FLAIR MR image.
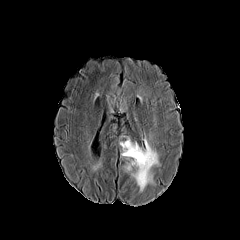
T1-weighted MRI.
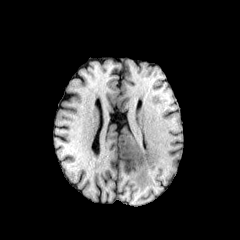
Post-contrast T1-weighted MR.
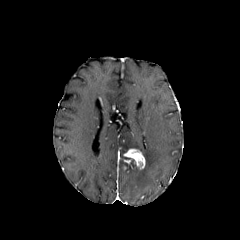
T2-weighted MR.
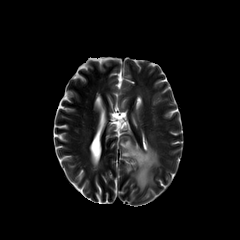
Image size 240x240 | Axial view | Head
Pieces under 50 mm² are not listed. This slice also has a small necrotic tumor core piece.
Findings:
• peritumoral edema: bbox(120, 137, 158, 191)
• enhancing tumor: bbox(123, 148, 145, 169)